FLAIR MR.
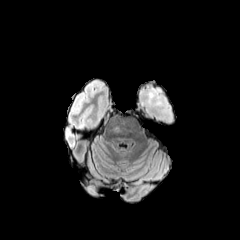
T1-weighted MR image.
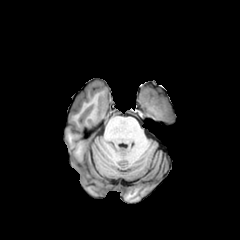
Post-contrast T1-weighted MRI.
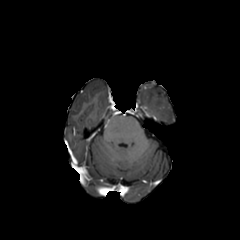
T2-weighted MR image.
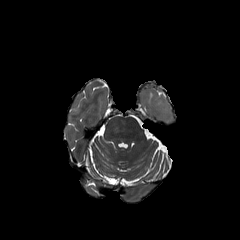
Head
{
  "peritumoral_edema": [
    "box(140, 85, 173, 124)"
  ]
}